FLAIR MRI.
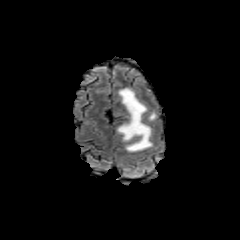
T1-weighted magnetic resonance.
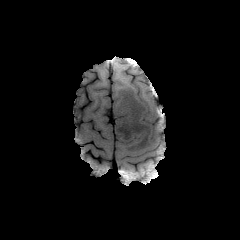
Post-contrast T1-weighted MR.
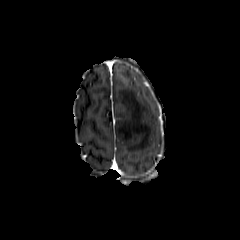
T2-weighted MR image.
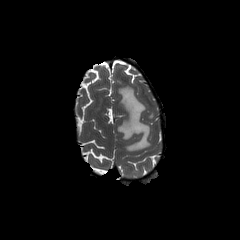
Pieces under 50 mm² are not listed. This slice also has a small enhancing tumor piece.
The largest peritumoral edema region appears at [116,87,152,151].